Axial view
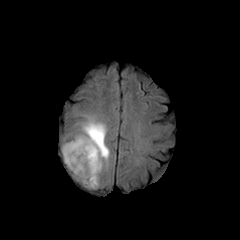
FLAIR MR image.
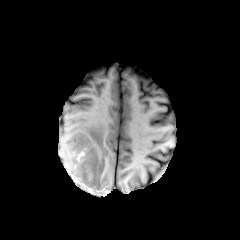
T1-weighted MRI of the same slice.
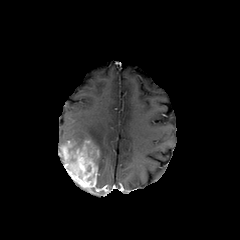
Same slice, post-contrast T1-weighted magnetic resonance.
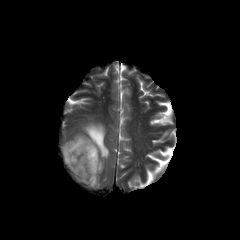
T2-weighted MR image of the same slice.
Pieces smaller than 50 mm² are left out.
The largest peritumoral edema region is bounded by 70 119 109 173. The enhancing tumor is bounded by 61 139 99 188.